FLAIR MR.
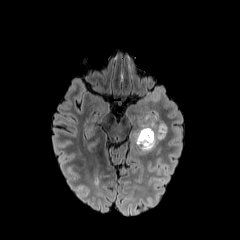
T1-weighted MRI.
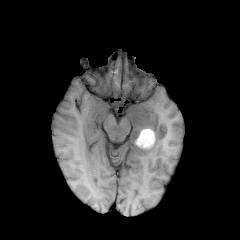
Post-contrast T1-weighted MRI.
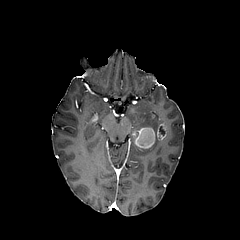
T2-weighted MR.
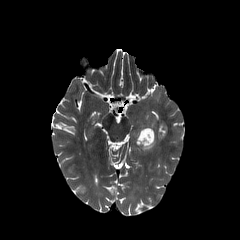
Axial slice. Brain.
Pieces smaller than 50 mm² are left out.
<segmentation>
  <peritumoral_edema>[x1=140, y1=121, x2=154, y2=129], [x1=140, y1=138, x2=158, y2=150]</peritumoral_edema>
  <enhancing_tumor>[x1=132, y1=124, x2=166, y2=148]</enhancing_tumor>
  <necrotic_tumor_core>[x1=137, y1=129, x2=153, y2=145]</necrotic_tumor_core>
</segmentation>